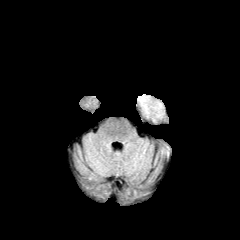
FLAIR MR.
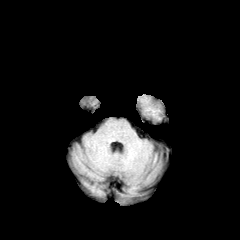
T1-weighted magnetic resonance.
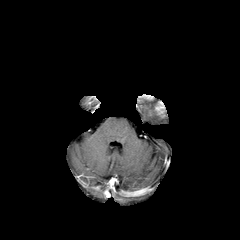
Post-contrast T1-weighted MR image.
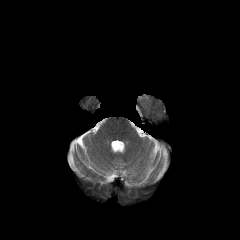
Same slice, T2-weighted MRI.
240x240 px. Axial view.
enhancing_tumor:
  - 155 101 164 117
peritumoral_edema:
  - 136 95 162 121